FLAIR MR.
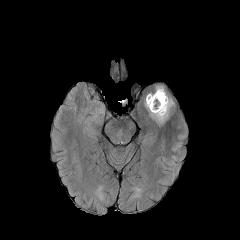
T1-weighted MRI.
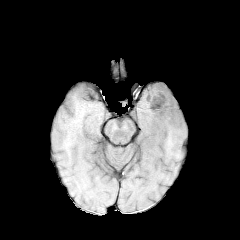
Post-contrast T1-weighted MR image.
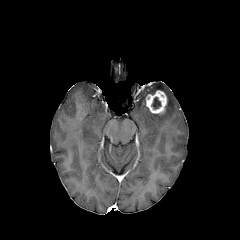
T2-weighted magnetic resonance.
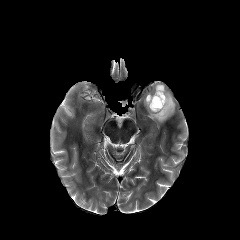
Image size 240x240, Brain, Axial view
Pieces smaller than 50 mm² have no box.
The enhancing tumor lies within bbox=[146, 90, 167, 114]. The largest necrotic tumor core region is bounded by bbox=[151, 97, 161, 109]. The largest peritumoral edema region is located at bbox=[144, 85, 174, 125].